Image covers 240 mm x 240 mm. Slice index 65.
FLAIR MR.
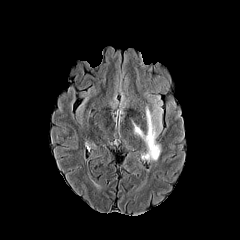
T1-weighted MR.
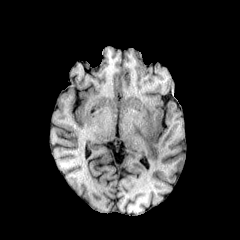
Post-contrast T1-weighted MR image.
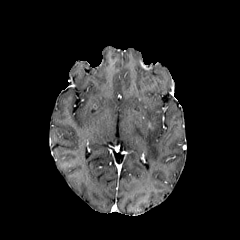
T2-weighted MR image.
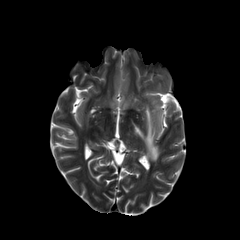
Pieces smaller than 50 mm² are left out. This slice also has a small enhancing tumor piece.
<segmentation>
  <peritumoral_edema>x1=133 y1=107 x2=161 y2=160</peritumoral_edema>
</segmentation>